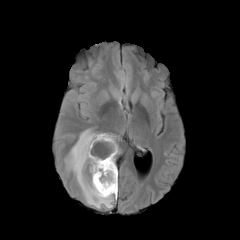
FLAIR MR.
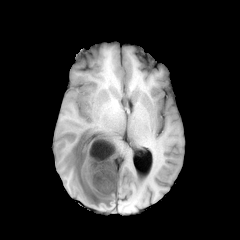
Same slice, T1-weighted MR image.
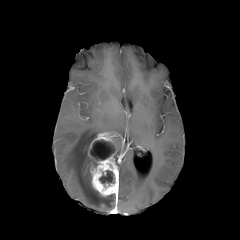
Post-contrast T1-weighted MR.
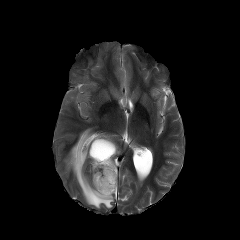
T2-weighted magnetic resonance.
Head | 240x240 px
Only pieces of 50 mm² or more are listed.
- peritumoral edema: box(64, 128, 115, 208); box(113, 135, 119, 157)
- enhancing tumor: box(88, 133, 118, 196)
- necrotic tumor core: box(90, 140, 115, 160); box(99, 170, 114, 183)